Head
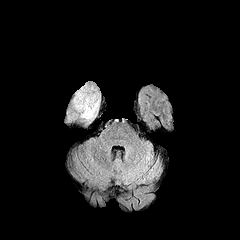
FLAIR MR.
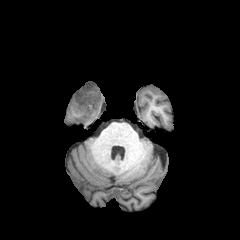
T1-weighted magnetic resonance.
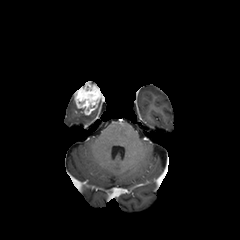
Post-contrast T1-weighted MRI.
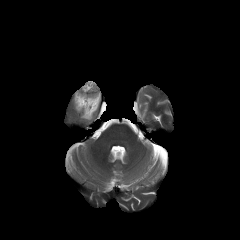
T2-weighted MR of the same slice.
The enhancing tumor appears at (74, 81, 102, 115). The peritumoral edema is located at (73, 99, 98, 121).